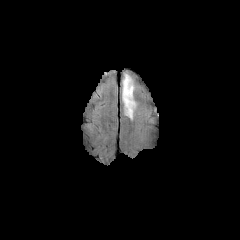
FLAIR MR.
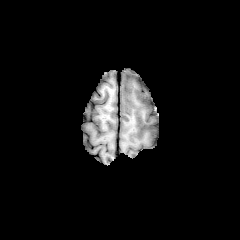
T1-weighted MR image.
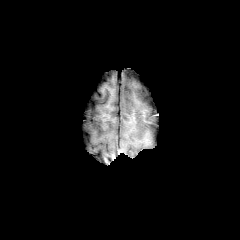
Post-contrast T1-weighted MR image of the same slice.
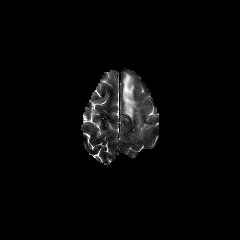
Same slice, T2-weighted MR image.
{"peritumoral_edema": ["(122, 73, 136, 119)"]}